Axial slice; Slice 44 of 155; 240x240 px
FLAIR MR.
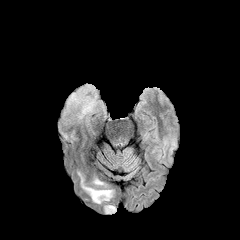
T1-weighted MRI.
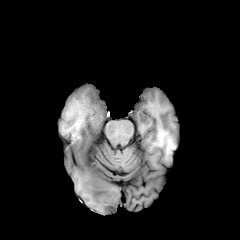
Post-contrast T1-weighted magnetic resonance.
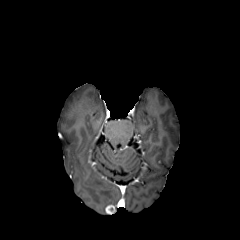
T2-weighted MR image.
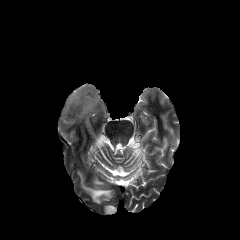
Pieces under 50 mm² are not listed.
2 peritumoral edema regions are located at [78, 172, 113, 203], [61, 85, 102, 128]. The largest enhancing tumor region is at [105, 205, 115, 214].